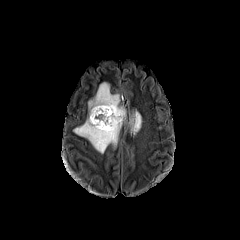
FLAIR MR image.
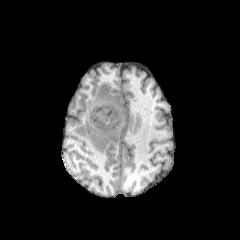
T1-weighted magnetic resonance of the same slice.
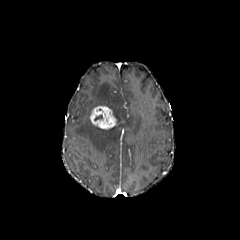
Post-contrast T1-weighted MR.
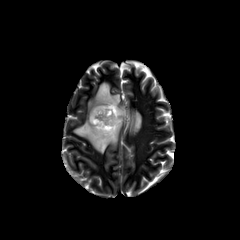
Same slice, T2-weighted MRI.
Image size 240x240 | Brain | Axial slice
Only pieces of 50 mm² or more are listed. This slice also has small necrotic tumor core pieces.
<segmentation>
  <enhancing_tumor>bbox=[90, 106, 116, 129]</enhancing_tumor>
  <peritumoral_edema>bbox=[73, 82, 126, 153]; bbox=[128, 110, 141, 134]</peritumoral_edema>
</segmentation>